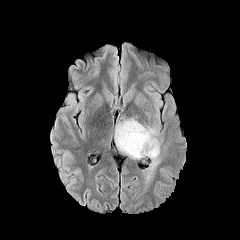
FLAIR magnetic resonance.
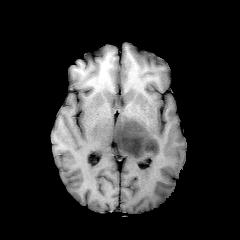
T1-weighted MR of the same slice.
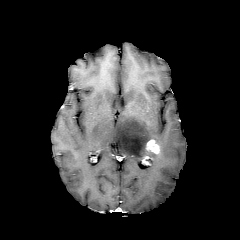
Post-contrast T1-weighted MRI of the same slice.
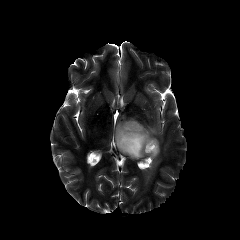
T2-weighted magnetic resonance.
Image size 240x240; Head; Axial view
The enhancing tumor appears at [145, 139, 160, 154]. The peritumoral edema is at [114, 118, 160, 178].